Image size 240x240; Head; Image width 240 mm, 1.00 mm slice spacing; Axial view
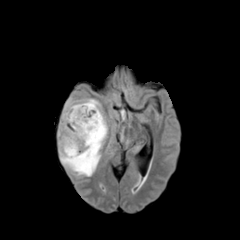
FLAIR magnetic resonance.
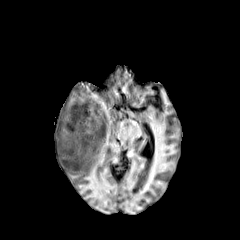
T1-weighted MR.
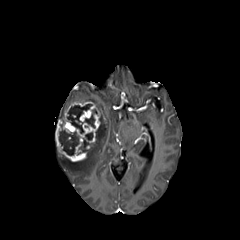
Post-contrast T1-weighted MRI of the same slice.
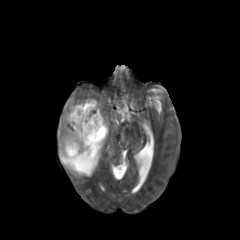
T2-weighted magnetic resonance.
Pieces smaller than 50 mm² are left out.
The 2 largest peritumoral edema regions appear at (left=83, top=98, right=101, bottom=111), (left=59, top=113, right=107, bottom=176). The 4 largest necrotic tumor core regions are located at (left=59, top=130, right=78, bottom=155), (left=85, top=132, right=92, bottom=140), (left=67, top=104, right=97, bottom=133), (left=79, top=139, right=88, bottom=151). The largest enhancing tumor region lies within (left=56, top=101, right=100, bottom=161).